FLAIR MR.
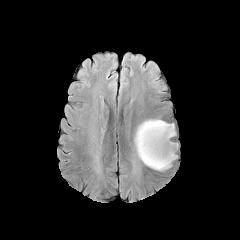
T1-weighted MR.
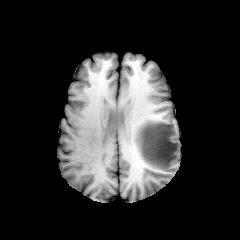
Post-contrast T1-weighted magnetic resonance.
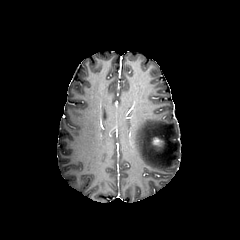
T2-weighted MR.
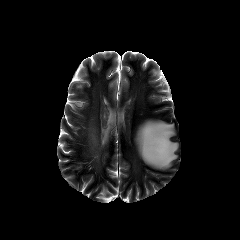
Brain
The peritumoral edema appears at <bbox>134, 119, 178, 170</bbox>. The enhancing tumor appears at <bbox>153, 138, 162, 146</bbox>.